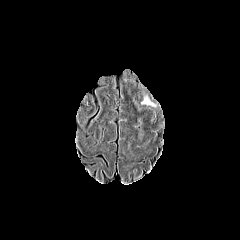
FLAIR MR.
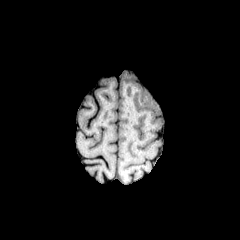
Same slice, T1-weighted magnetic resonance.
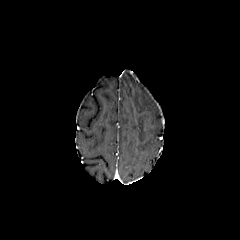
Post-contrast T1-weighted MRI of the same slice.
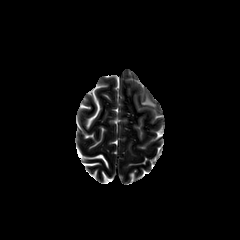
T2-weighted MRI.
240x240; Axial slice
peritumoral edema: bounding box (x1=142, y1=98, x2=154, y2=106)